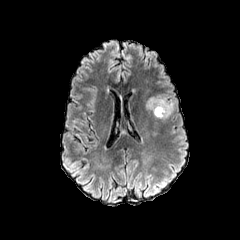
FLAIR magnetic resonance.
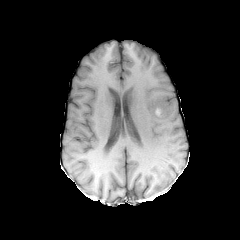
Same slice, T1-weighted magnetic resonance.
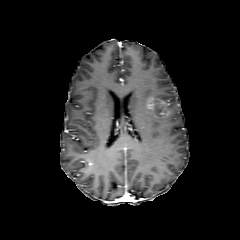
Post-contrast T1-weighted MR of the same slice.
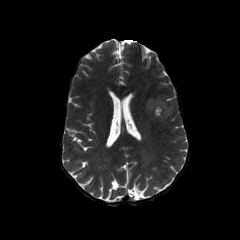
T2-weighted MR of the same slice.
Axial view; Brain
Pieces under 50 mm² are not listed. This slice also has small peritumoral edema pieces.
enhancing tumor: [146,97,173,117]